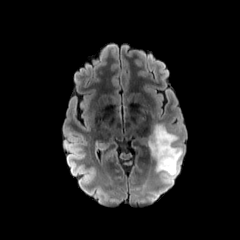
FLAIR magnetic resonance.
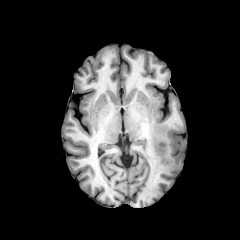
Same slice, T1-weighted MRI.
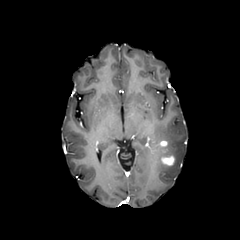
Post-contrast T1-weighted MR image.
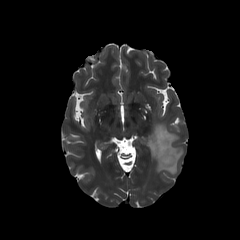
T2-weighted magnetic resonance of the same slice.
240x240 px
enhancing tumor: [161, 155, 174, 165], [158, 141, 167, 152] | peritumoral edema: [148, 123, 182, 179]